FLAIR MR.
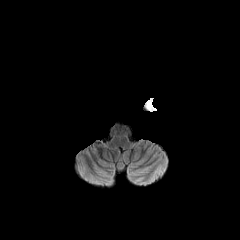
T1-weighted MR.
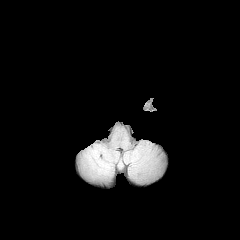
Post-contrast T1-weighted MRI.
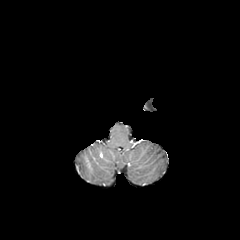
T2-weighted MRI.
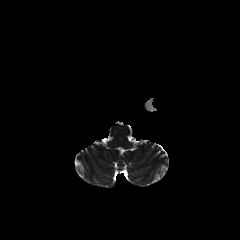
Brain
The peritumoral edema is at (144,98,156,111).